240x240 px; Axial plane; Slice 80 of 155; Head
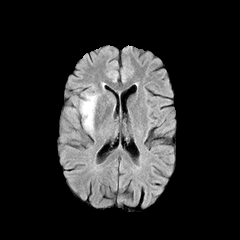
FLAIR MR.
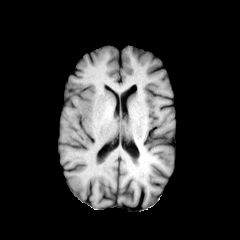
Same slice, T1-weighted MRI.
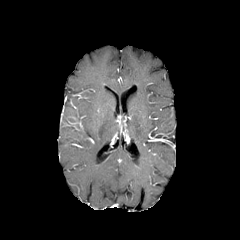
Post-contrast T1-weighted MR of the same slice.
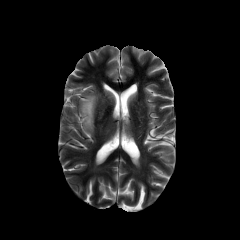
T2-weighted MR of the same slice.
peritumoral edema: bounding box region(80, 92, 97, 132)